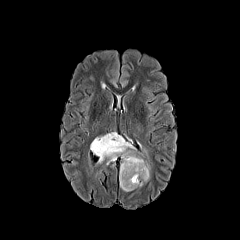
FLAIR magnetic resonance.
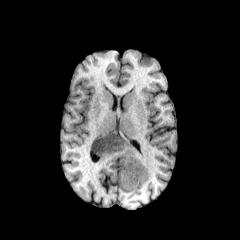
T1-weighted MR image.
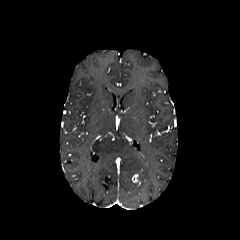
Post-contrast T1-weighted MRI.
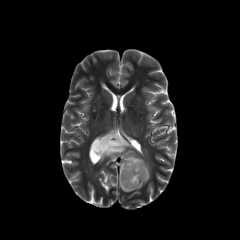
T2-weighted MRI.
240x240 px, Axial plane, Brain
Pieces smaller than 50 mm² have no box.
Annotated regions:
- peritumoral edema: left=90, top=132, right=149, bottom=191
- enhancing tumor: left=131, top=173, right=139, bottom=183